Image size 240x240, Slice 128/155, Image width 240 mm
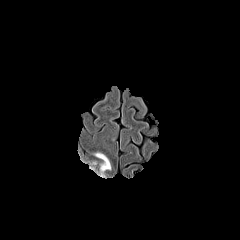
FLAIR MR.
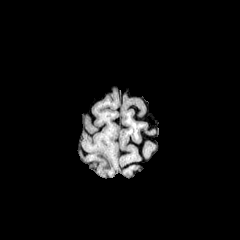
Same slice, T1-weighted MRI.
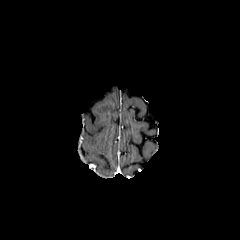
Same slice, post-contrast T1-weighted magnetic resonance.
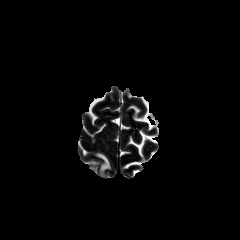
T2-weighted MR image.
The peritumoral edema is bounded by bbox=[95, 153, 110, 176].